Slice 43 of 155. 240x240 px.
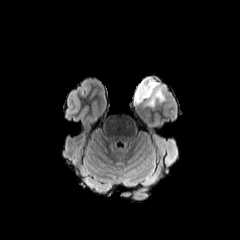
FLAIR MRI.
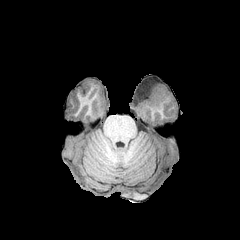
T1-weighted MRI.
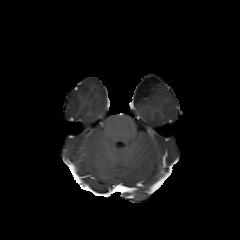
Post-contrast T1-weighted magnetic resonance.
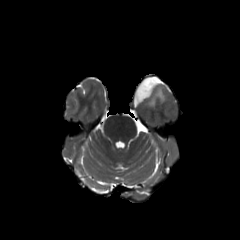
Same slice, T2-weighted MR image.
The peritumoral edema appears at [134, 76, 164, 107].